FLAIR magnetic resonance.
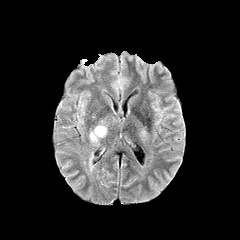
T1-weighted MR image.
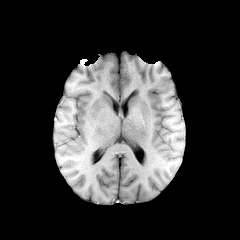
Post-contrast T1-weighted MR.
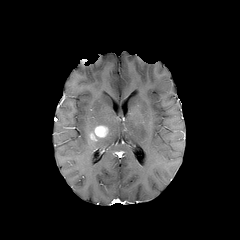
T2-weighted MR.
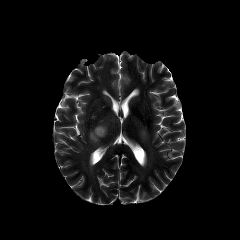
Brain
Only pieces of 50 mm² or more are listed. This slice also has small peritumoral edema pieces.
enhancing tumor: bbox=[90, 125, 107, 140]